Slice index 80 | Image size 240x240 | Brain
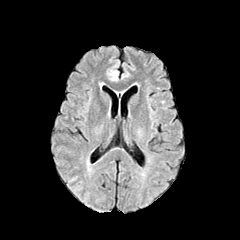
FLAIR magnetic resonance.
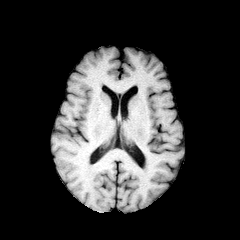
T1-weighted MR image.
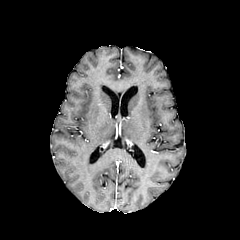
Same slice, post-contrast T1-weighted MR image.
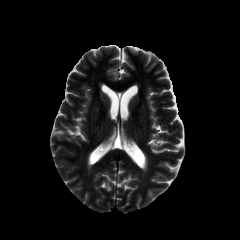
Same slice, T2-weighted MR image.
{
  "peritumoral_edema": [
    "bbox(112, 71, 119, 80)"
  ]
}